Head, 240x240 px
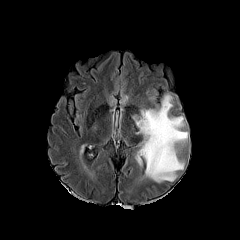
FLAIR MR.
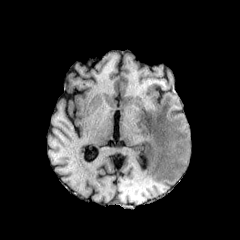
T1-weighted MRI.
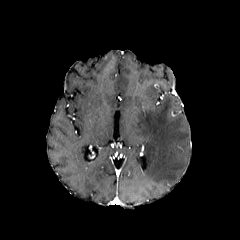
Post-contrast T1-weighted magnetic resonance.
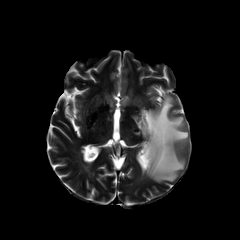
Same slice, T2-weighted MRI.
Segmented structures:
• peritumoral edema: box(131, 94, 188, 182)